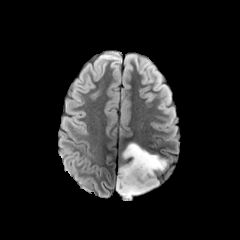
FLAIR MRI.
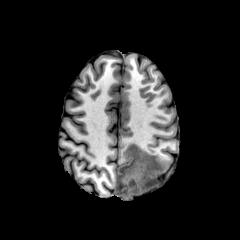
T1-weighted MR of the same slice.
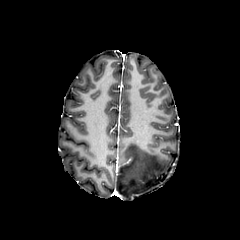
Post-contrast T1-weighted MRI of the same slice.
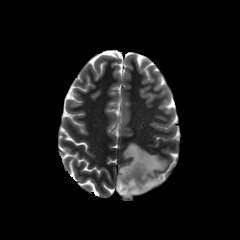
T2-weighted magnetic resonance of the same slice.
Axial plane | Head
peritumoral edema: [116, 143, 167, 198]